Brain, Axial plane, Image size 240x240, Slice 110/155
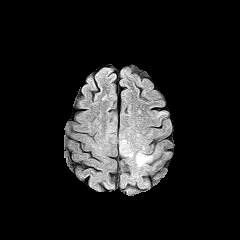
FLAIR magnetic resonance.
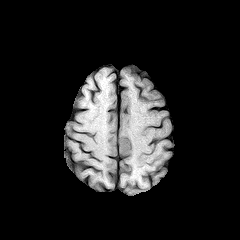
Same slice, T1-weighted MR image.
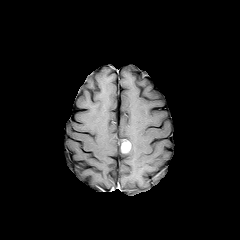
Post-contrast T1-weighted MR.
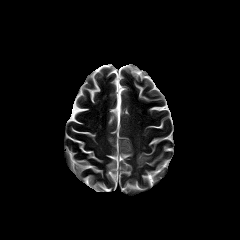
T2-weighted MRI.
Segmented structures:
• enhancing tumor: x1=121, y1=140, x2=130, y2=152
• peritumoral edema: x1=119, y1=136, x2=133, y2=157; x1=136, y1=152, x2=152, y2=167